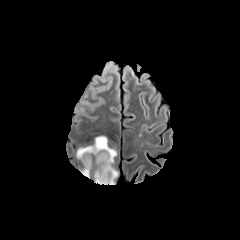
FLAIR MR image.
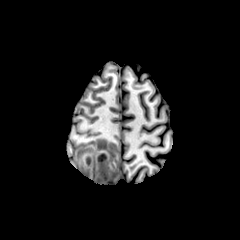
Same slice, T1-weighted MRI.
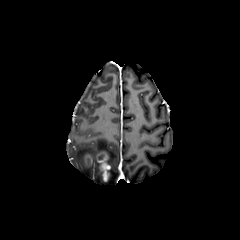
Post-contrast T1-weighted MRI of the same slice.
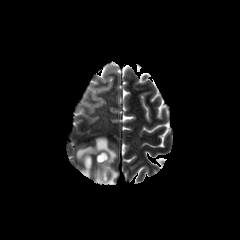
Same slice, T2-weighted magnetic resonance.
Brain; Axial view
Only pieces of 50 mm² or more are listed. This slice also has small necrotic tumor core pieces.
enhancing_tumor:
  - box=[84, 153, 92, 169]
  - box=[96, 151, 110, 181]
peritumoral_edema:
  - box=[76, 136, 118, 183]